Image width 240 mm. Slice index 50. Head.
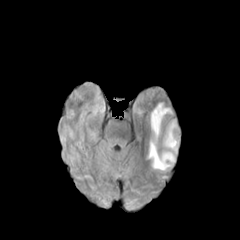
FLAIR MR.
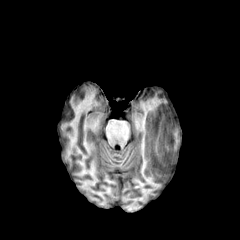
T1-weighted MR of the same slice.
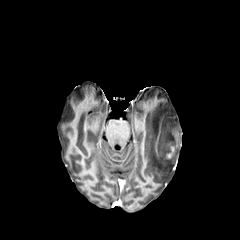
Post-contrast T1-weighted MR.
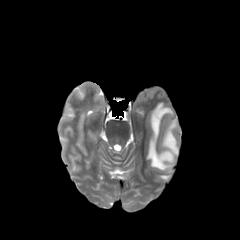
Same slice, T2-weighted MRI.
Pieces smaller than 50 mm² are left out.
The 2 largest peritumoral edema regions appear at box=[148, 103, 174, 170]; box=[163, 120, 177, 145]. The enhancing tumor appears at box=[165, 143, 176, 159]. The largest necrotic tumor core region is at box=[160, 137, 175, 159].